Axial slice, 240x240, Head
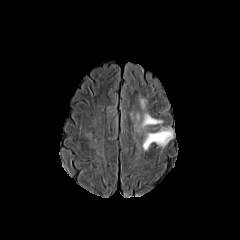
FLAIR MR image.
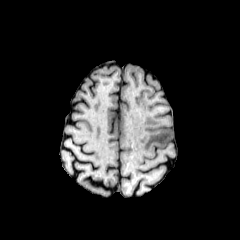
T1-weighted MRI.
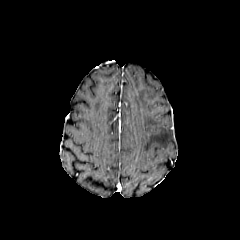
Post-contrast T1-weighted MR image.
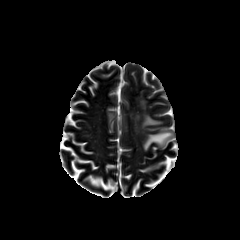
T2-weighted MR of the same slice.
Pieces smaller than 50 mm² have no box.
Annotated regions:
• peritumoral edema: <bbox>140, 113, 161, 128</bbox>, <bbox>143, 127, 173, 150</bbox>